Slice 115 of 155. Axial plane. Head.
FLAIR MR.
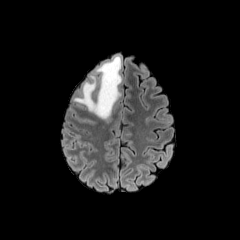
T1-weighted MRI.
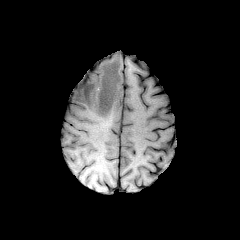
Post-contrast T1-weighted MR.
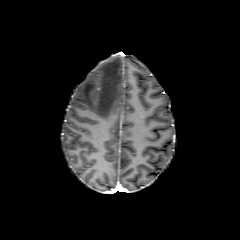
T2-weighted MR.
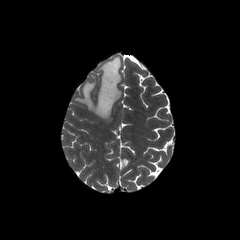
peritumoral edema = bbox(73, 55, 122, 120)